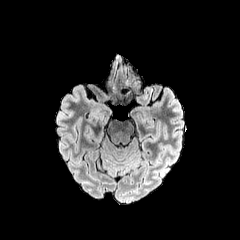
FLAIR MR image.
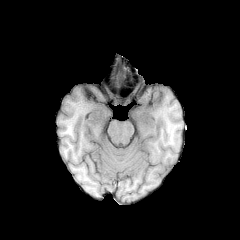
T1-weighted magnetic resonance.
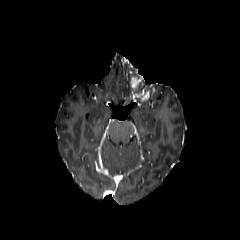
Post-contrast T1-weighted magnetic resonance of the same slice.
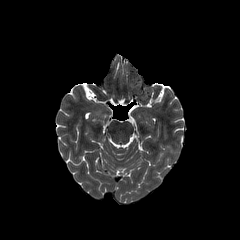
T2-weighted MR image.
240x240 px, Axial plane
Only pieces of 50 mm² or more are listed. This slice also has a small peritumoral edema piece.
2 enhancing tumor regions are located at (left=130, top=77, right=138, bottom=88), (left=136, top=91, right=150, bottom=100).